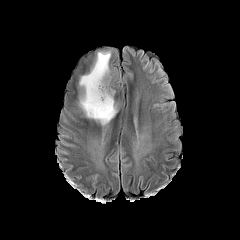
FLAIR MR image.
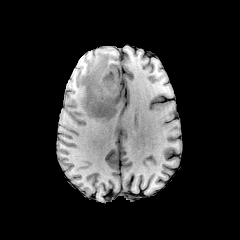
T1-weighted MRI.
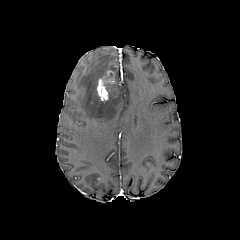
Post-contrast T1-weighted MR image.
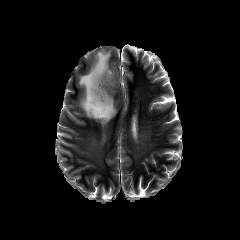
T2-weighted MR image.
Axial plane | Image size 240x240
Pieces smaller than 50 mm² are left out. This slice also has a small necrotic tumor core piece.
{"peritumoral_edema": ["79, 50, 117, 125"], "enhancing_tumor": ["97, 70, 115, 100"]}